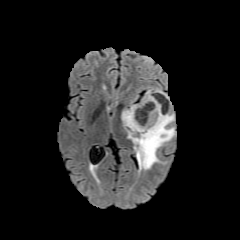
FLAIR MRI.
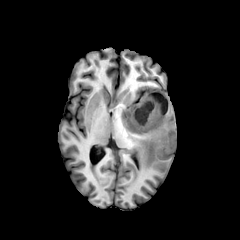
T1-weighted magnetic resonance.
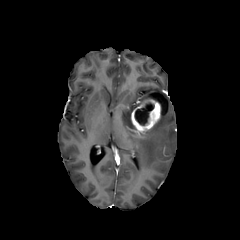
Post-contrast T1-weighted MR of the same slice.
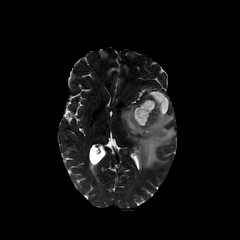
Same slice, T2-weighted MRI.
240x240 px.
necrotic tumor core: {"x1": 135, "y1": 102, "x2": 153, "y2": 125}
peritumoral edema: {"x1": 121, "y1": 89, "x2": 175, "y2": 169}
enhancing tumor: {"x1": 131, "y1": 99, "x2": 160, "y2": 134}